Axial view, Slice 119 of 155
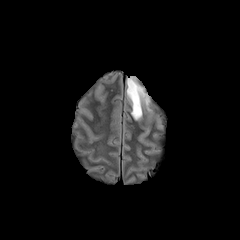
FLAIR MRI.
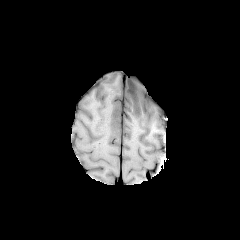
T1-weighted MR of the same slice.
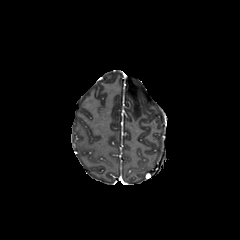
Post-contrast T1-weighted MRI.
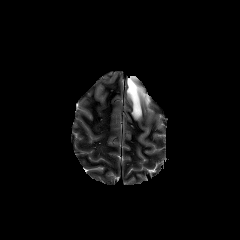
T2-weighted MRI.
peritumoral edema — {"x1": 127, "y1": 76, "x2": 149, "y2": 119}